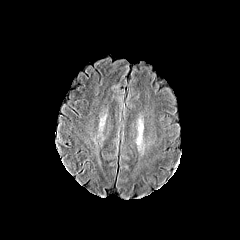
FLAIR MRI.
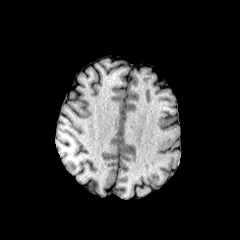
Same slice, T1-weighted MRI.
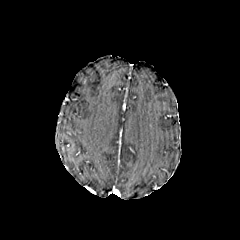
Post-contrast T1-weighted MR image.
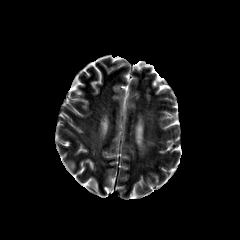
T2-weighted MR image of the same slice.
240x240
Annotated regions:
- peritumoral edema: bbox(137, 126, 142, 145)